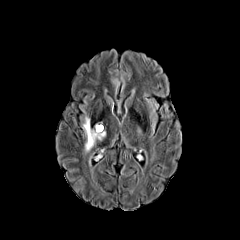
FLAIR MRI.
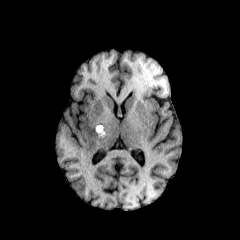
T1-weighted magnetic resonance.
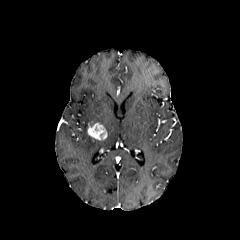
Post-contrast T1-weighted MRI of the same slice.
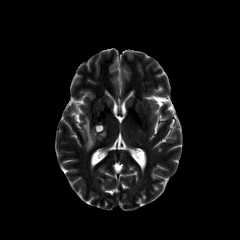
T2-weighted magnetic resonance.
240x240 px, Axial slice
enhancing_tumor:
  - bbox=[87, 123, 107, 140]
peritumoral_edema:
  - bbox=[82, 116, 96, 152]